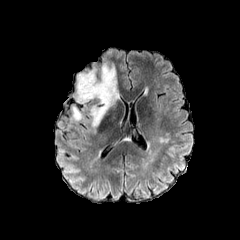
FLAIR MRI.
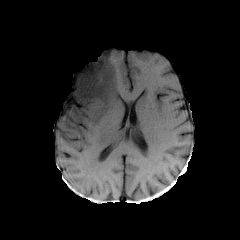
Same slice, T1-weighted MR image.
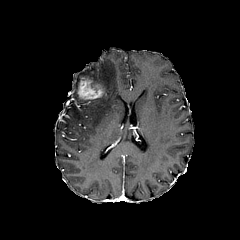
Post-contrast T1-weighted MR image.
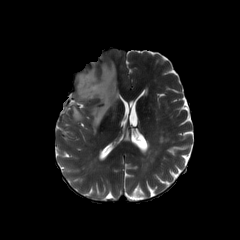
T2-weighted MR image.
Head; Axial slice
peritumoral edema at <bbox>72, 105, 85, 121</bbox>, <bbox>75, 63, 119, 133</bbox>
enhancing tumor at <bbox>77, 76, 106, 100</bbox>